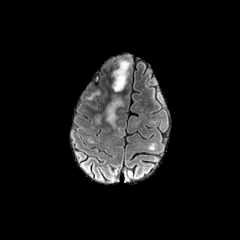
FLAIR magnetic resonance.
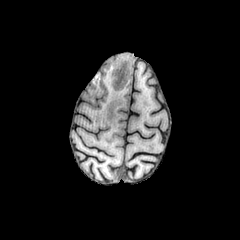
T1-weighted MR.
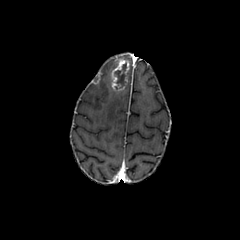
Post-contrast T1-weighted MR image.
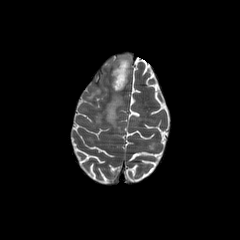
Same slice, T2-weighted magnetic resonance.
Axial plane.
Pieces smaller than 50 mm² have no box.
enhancing tumor: x1=110 y1=58 x2=129 y2=91
necrotic tumor core: x1=115 y1=64 x2=126 y2=86
peritumoral edema: x1=106 y1=95 x2=122 y2=127